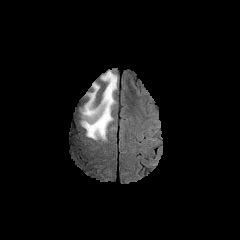
FLAIR MR.
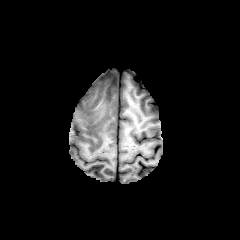
T1-weighted magnetic resonance of the same slice.
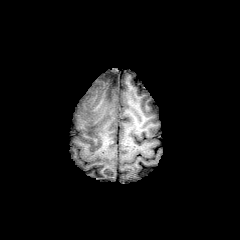
Post-contrast T1-weighted MR.
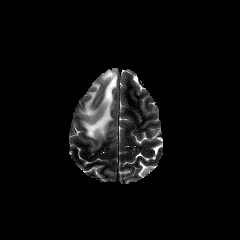
Same slice, T2-weighted MR image.
240x240.
Findings:
- peritumoral edema: box=[82, 71, 117, 139]